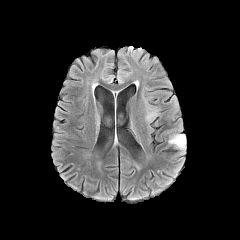
FLAIR MR.
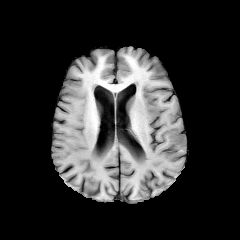
T1-weighted magnetic resonance.
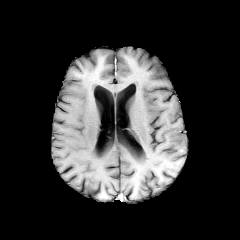
Post-contrast T1-weighted MR image.
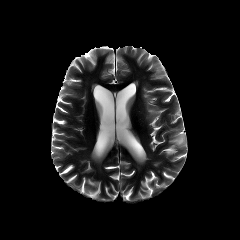
T2-weighted MR image.
Axial slice | Head
Segmented structures:
- peritumoral edema: box=[147, 105, 159, 121]; box=[168, 134, 186, 150]